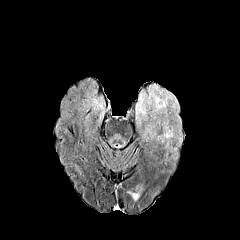
FLAIR MR image.
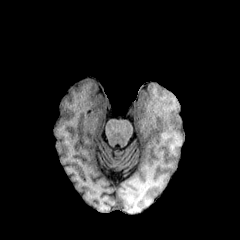
T1-weighted MR.
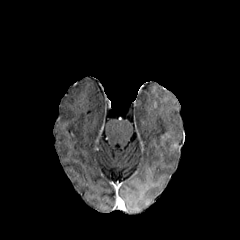
Same slice, post-contrast T1-weighted magnetic resonance.
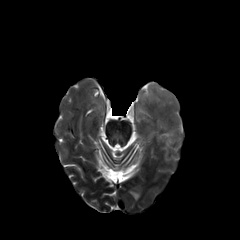
T2-weighted MR of the same slice.
Brain. Axial slice.
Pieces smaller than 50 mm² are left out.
Annotated regions:
• peritumoral edema: region(136, 84, 182, 145)